Slice 63 of 155
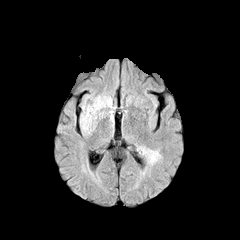
FLAIR MR.
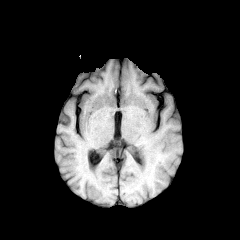
Same slice, T1-weighted MRI.
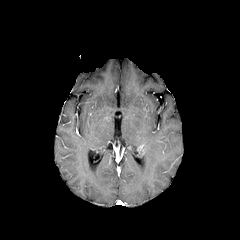
Post-contrast T1-weighted magnetic resonance.
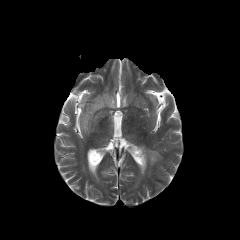
T2-weighted MRI.
3 peritumoral edema regions are bounded by <box>108,111,114,122</box>, <box>80,96,112,137</box>, <box>142,149,159,163</box>.